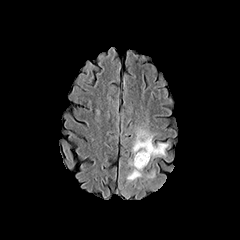
FLAIR MR image.
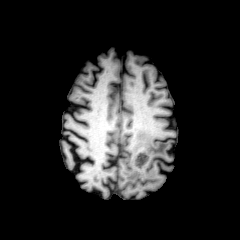
Same slice, T1-weighted MR image.
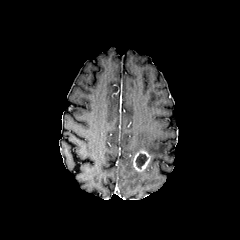
Post-contrast T1-weighted MR of the same slice.
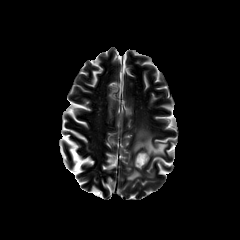
T2-weighted MR image.
240x240
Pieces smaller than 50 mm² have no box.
enhancing tumor: 133, 150, 150, 171
peritumoral edema: 132, 129, 169, 156; 126, 167, 142, 183
necrotic tumor core: 136, 154, 147, 168